FLAIR magnetic resonance.
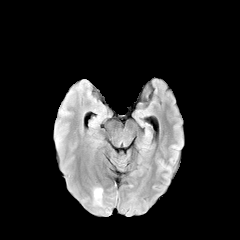
T1-weighted MR image.
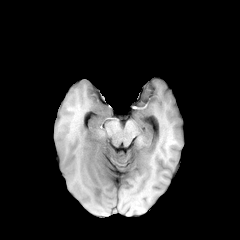
Post-contrast T1-weighted MR image.
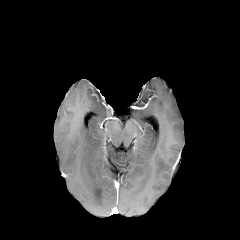
T2-weighted magnetic resonance.
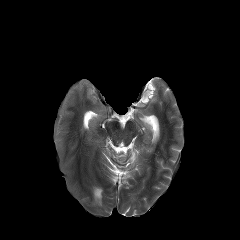
Image size 240x240
The peritumoral edema is located at bbox(94, 188, 102, 204).